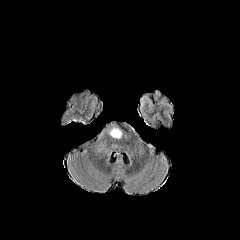
FLAIR magnetic resonance.
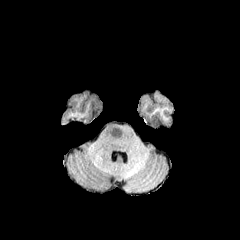
T1-weighted MR image.
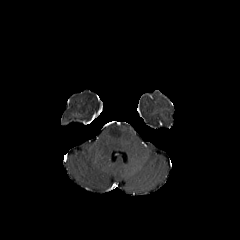
Post-contrast T1-weighted MR image.
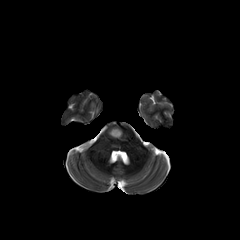
T2-weighted MRI.
Head; Axial plane; 240x240
peritumoral edema = (109,127,122,138)